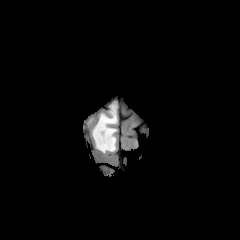
FLAIR MR.
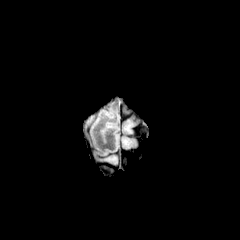
T1-weighted MRI.
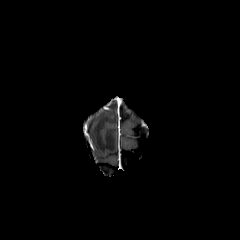
Post-contrast T1-weighted MR of the same slice.
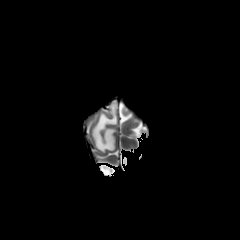
T2-weighted MR image.
Axial slice
peritumoral edema: x1=92, y1=102, x2=117, y2=153